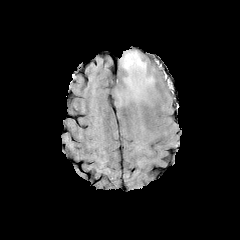
FLAIR MR.
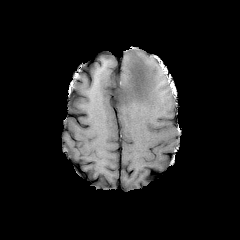
T1-weighted MR.
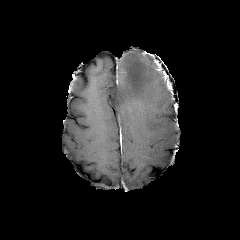
Post-contrast T1-weighted magnetic resonance.
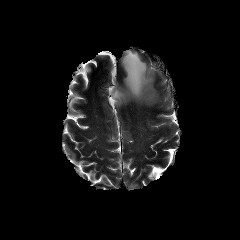
T2-weighted MR of the same slice.
<segmentation>
  <peritumoral_edema>(left=114, top=50, right=154, bottom=104)</peritumoral_edema>
</segmentation>